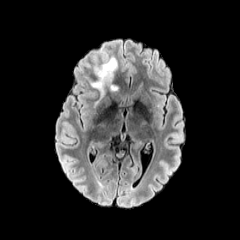
FLAIR magnetic resonance.
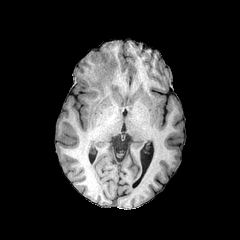
T1-weighted MRI.
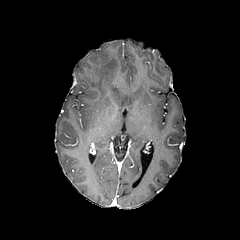
Post-contrast T1-weighted MR.
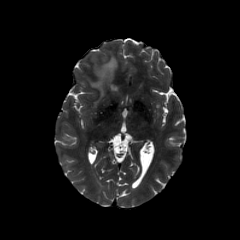
T2-weighted MR image of the same slice.
240x240; Head
The peritumoral edema lies within [x1=89, y1=56, x2=117, y2=107].